FLAIR MRI.
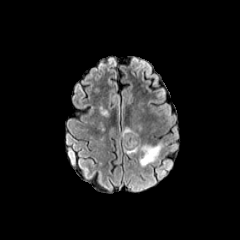
T1-weighted magnetic resonance.
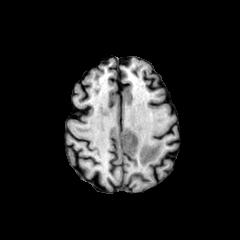
Post-contrast T1-weighted MR image.
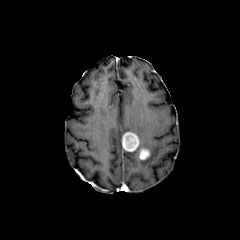
T2-weighted magnetic resonance.
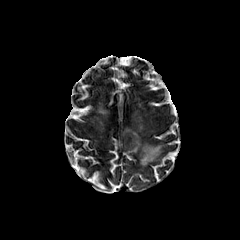
240x240. Axial slice.
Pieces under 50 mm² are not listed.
{"peritumoral_edema": ["[122,127,138,137]", "[124,142,163,166]"], "enhancing_tumor": ["[122,132,139,151]", "[139,148,149,159]"]}